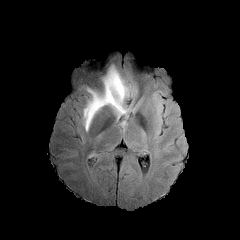
FLAIR MRI.
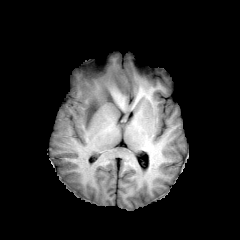
T1-weighted MRI of the same slice.
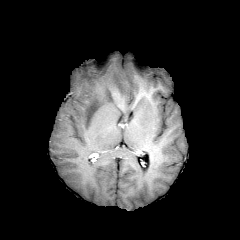
Same slice, post-contrast T1-weighted MR.
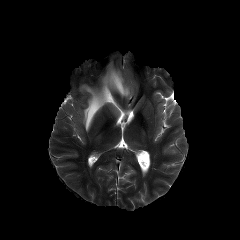
Same slice, T2-weighted MRI.
240x240 px; Brain
<segmentation>
  <peritumoral_edema>(83,66,132,130)</peritumoral_edema>
</segmentation>